FLAIR magnetic resonance.
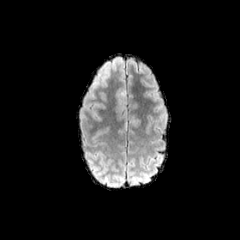
T1-weighted MR.
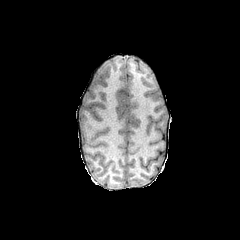
Post-contrast T1-weighted MR image.
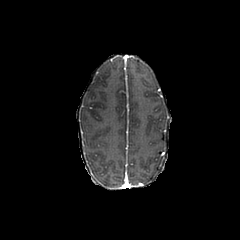
T2-weighted MRI.
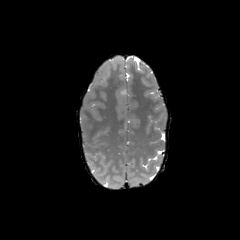
240x240; Axial view
peritumoral edema — bbox(116, 89, 125, 113)